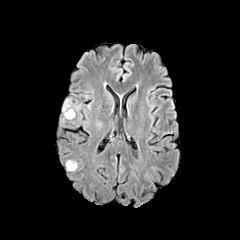
FLAIR MR image.
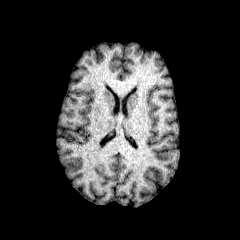
Same slice, T1-weighted MR image.
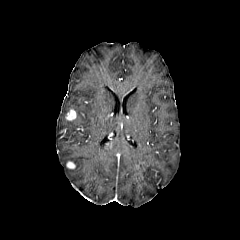
Post-contrast T1-weighted magnetic resonance.
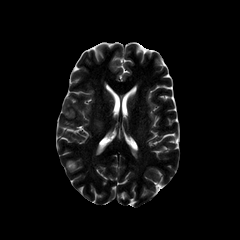
T2-weighted MR image.
240x240 px
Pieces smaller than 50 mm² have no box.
2 enhancing tumor regions are bounded by <bbox>65, 109, 76, 120</bbox>, <bbox>66, 161, 75, 169</bbox>. The largest peritumoral edema region is at <bbox>62, 99, 81, 119</bbox>.